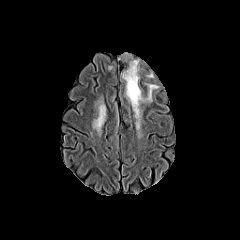
FLAIR MR image.
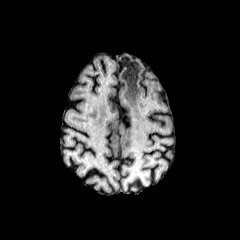
T1-weighted magnetic resonance of the same slice.
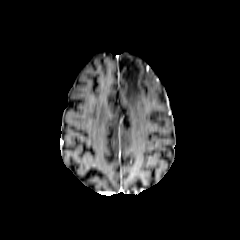
Post-contrast T1-weighted magnetic resonance of the same slice.
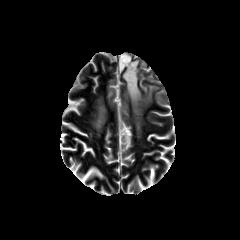
T2-weighted MR image.
Axial slice; Head
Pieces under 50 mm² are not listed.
peritumoral edema: bounding box left=121, top=54, right=158, bottom=129; left=94, top=104, right=105, bottom=130